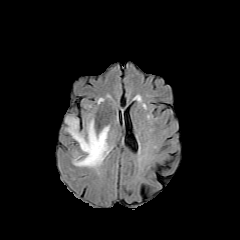
FLAIR MR.
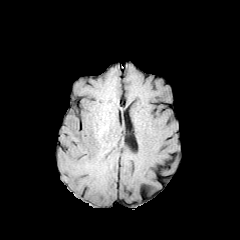
T1-weighted MR.
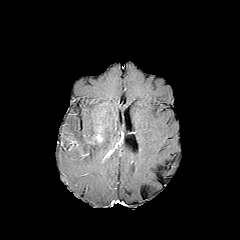
Post-contrast T1-weighted MR image of the same slice.
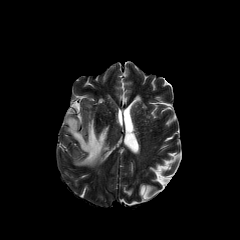
T2-weighted MR image.
Axial plane
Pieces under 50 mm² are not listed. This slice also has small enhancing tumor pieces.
The peritumoral edema is at left=65, top=116, right=112, bottom=167.